FLAIR magnetic resonance.
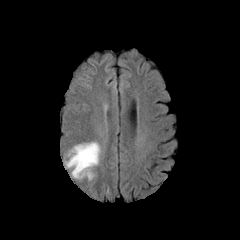
T1-weighted MR.
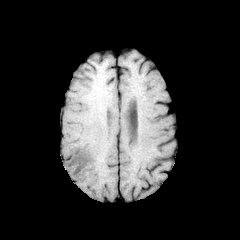
Post-contrast T1-weighted MR image.
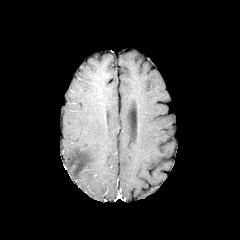
T2-weighted magnetic resonance.
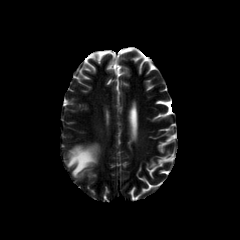
Head
Findings:
* peritumoral edema: box(65, 142, 100, 179)